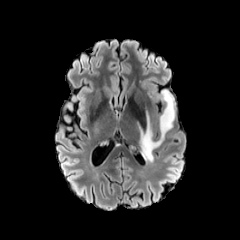
FLAIR magnetic resonance.
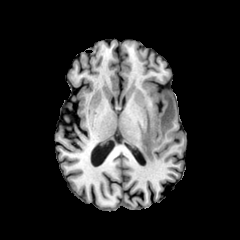
T1-weighted magnetic resonance.
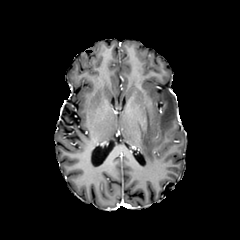
Post-contrast T1-weighted magnetic resonance.
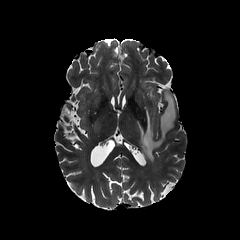
T2-weighted MRI.
Axial plane, Head
The peritumoral edema is at rect(136, 89, 175, 164).